Axial slice. Image covers 240 mm x 240 mm.
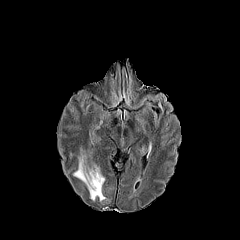
FLAIR MRI.
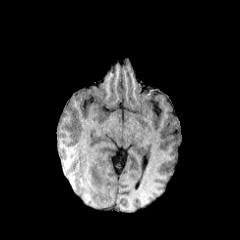
T1-weighted magnetic resonance.
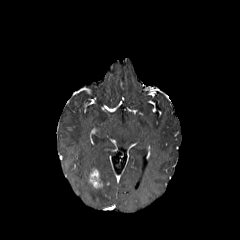
Post-contrast T1-weighted MR.
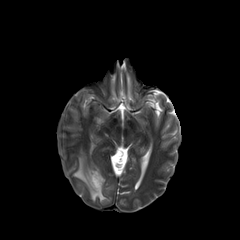
T2-weighted magnetic resonance.
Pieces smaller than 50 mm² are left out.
<segmentation>
  <peritumoral_edema>73:150:106:201</peritumoral_edema>
  <enhancing_tumor>88:168:102:188</enhancing_tumor>
</segmentation>